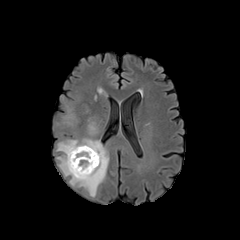
FLAIR magnetic resonance.
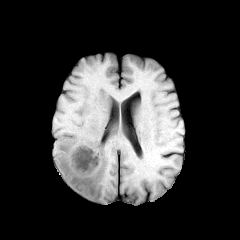
T1-weighted magnetic resonance of the same slice.
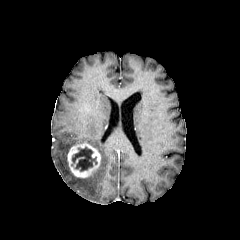
Post-contrast T1-weighted MR image of the same slice.
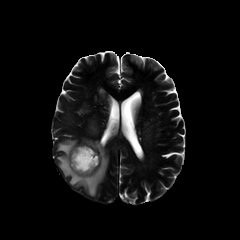
Same slice, T2-weighted MR.
Brain.
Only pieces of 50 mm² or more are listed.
enhancing tumor = (67,143,100,177)
peritumoral edema = (88,122,96,134), (56,138,109,197)
necrotic tumor core = (71,147,97,171)